FLAIR magnetic resonance.
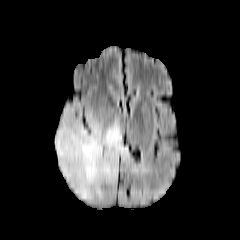
T1-weighted MR image.
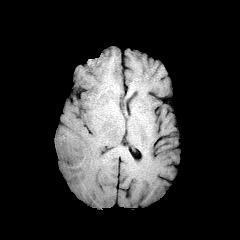
Post-contrast T1-weighted MR image.
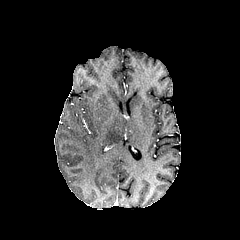
T2-weighted MR image.
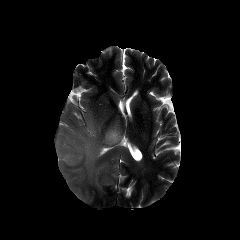
Axial view. 240x240 px. Head.
<segmentation>
  <peritumoral_edema>[x1=55, y1=101, x2=128, y2=201]</peritumoral_edema>
</segmentation>